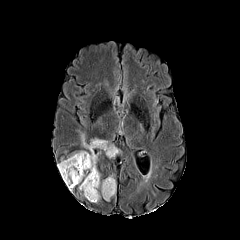
FLAIR MRI.
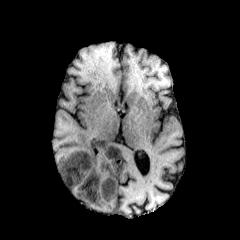
T1-weighted MR.
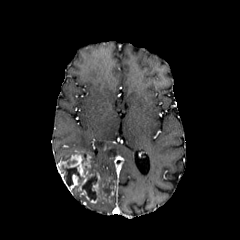
Post-contrast T1-weighted MRI of the same slice.
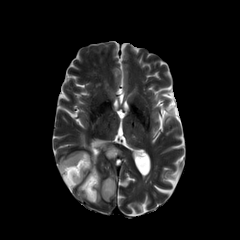
T2-weighted MR of the same slice.
240x240. Head.
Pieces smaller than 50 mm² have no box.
necrotic tumor core: (62, 166, 82, 186), (82, 174, 97, 200), (100, 180, 113, 194)
peritumoral edema: (102, 190, 111, 200), (81, 134, 117, 173)
enhancing tumor: (57, 151, 106, 202)